FLAIR magnetic resonance.
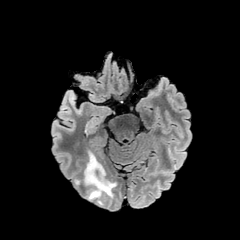
T1-weighted magnetic resonance.
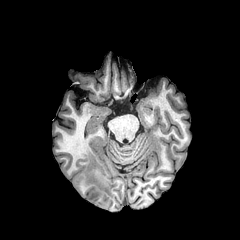
Post-contrast T1-weighted MR.
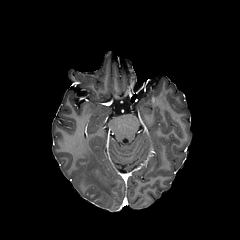
T2-weighted MR image.
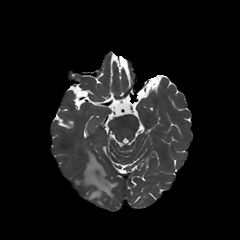
Axial view, 240x240, Brain
• peritumoral edema: box=[74, 151, 117, 206]